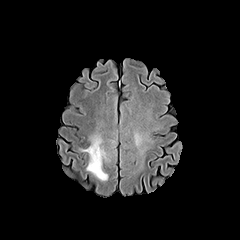
FLAIR MRI.
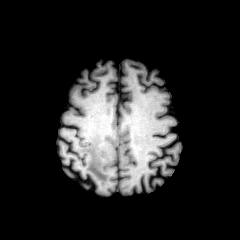
Same slice, T1-weighted magnetic resonance.
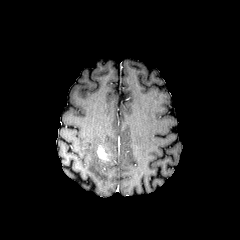
Post-contrast T1-weighted MRI.
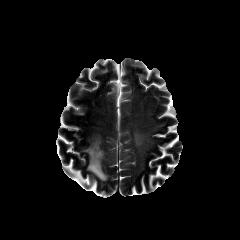
T2-weighted MR image of the same slice.
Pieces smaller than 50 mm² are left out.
peritumoral edema: 81,135,108,181 | enhancing tumor: 97,147,108,160